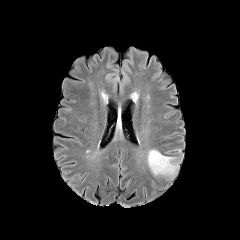
FLAIR MR.
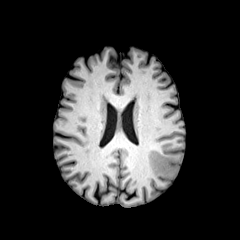
T1-weighted MR image.
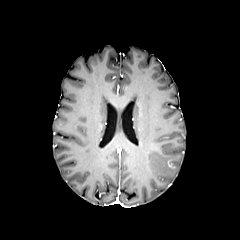
Same slice, post-contrast T1-weighted magnetic resonance.
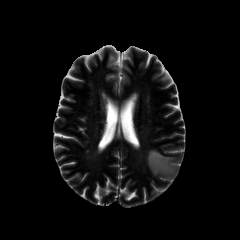
T2-weighted MR.
Head; Axial view
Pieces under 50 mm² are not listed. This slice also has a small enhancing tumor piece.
Segmented structures:
- peritumoral edema: 147, 149, 182, 179